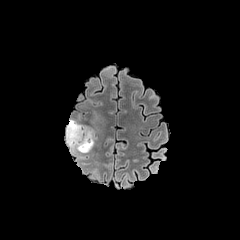
FLAIR MR image.
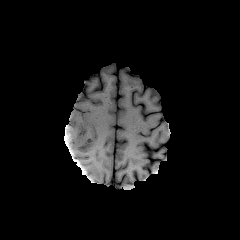
T1-weighted MR.
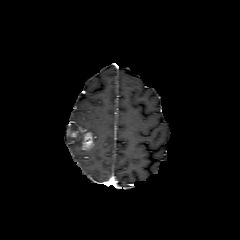
Post-contrast T1-weighted MRI of the same slice.
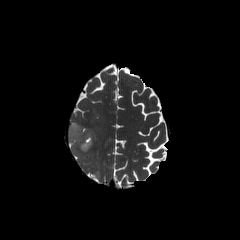
Same slice, T2-weighted magnetic resonance.
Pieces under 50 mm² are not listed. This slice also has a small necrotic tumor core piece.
The peritumoral edema is at 66 119 94 152. 2 enhancing tumor regions are bounded by 68 131 77 137, 82 131 93 149.